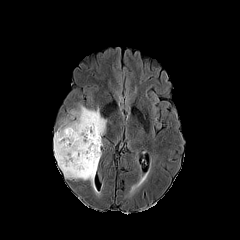
FLAIR magnetic resonance.
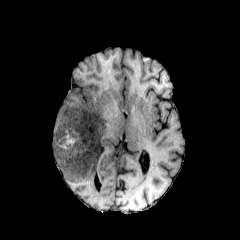
T1-weighted MRI.
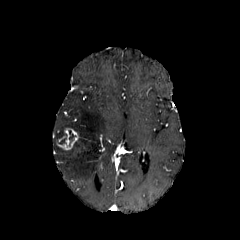
Same slice, post-contrast T1-weighted MRI.
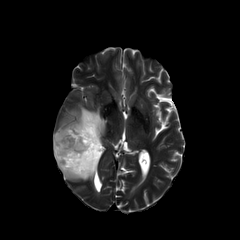
T2-weighted MR image.
Image size 240x240, Head
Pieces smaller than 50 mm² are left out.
necrotic tumor core: bbox(69, 130, 75, 145); bbox(59, 133, 67, 144) | peritumoral edema: bbox(53, 105, 106, 188) | enhancing tumor: bbox(57, 128, 79, 150)